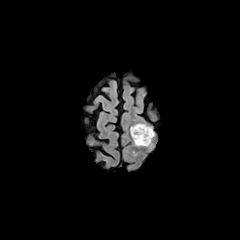
FLAIR MR.
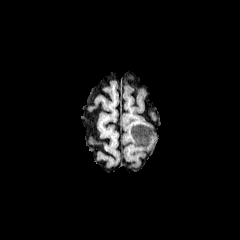
T1-weighted MR image of the same slice.
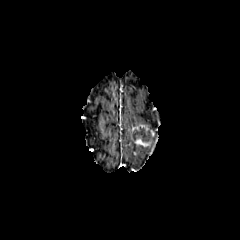
Post-contrast T1-weighted MR image of the same slice.
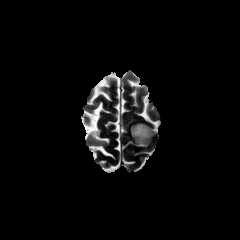
T2-weighted MRI.
Brain
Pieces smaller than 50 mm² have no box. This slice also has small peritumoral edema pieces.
The enhancing tumor lies within l=131, t=124, r=154, b=146. The necrotic tumor core is bounded by l=133, t=127, r=150, b=141.